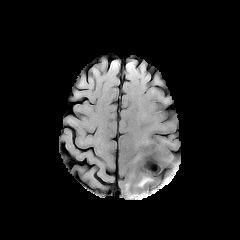
FLAIR MRI.
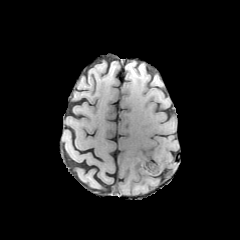
T1-weighted MRI.
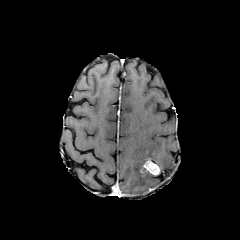
Post-contrast T1-weighted magnetic resonance.
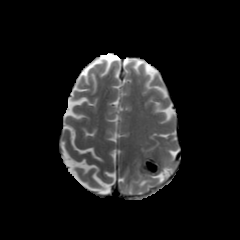
Same slice, T2-weighted MR.
240x240, Brain, Axial plane
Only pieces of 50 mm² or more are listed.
Annotated regions:
* peritumoral edema: bbox=[138, 178, 151, 186]
* enhancing tumor: bbox=[146, 163, 159, 175]